FLAIR MR.
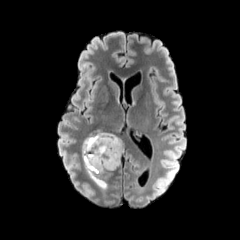
T1-weighted magnetic resonance.
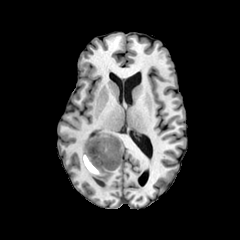
Post-contrast T1-weighted MR image.
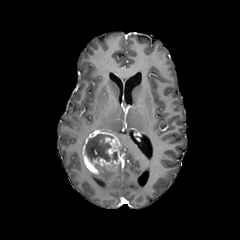
T2-weighted MRI.
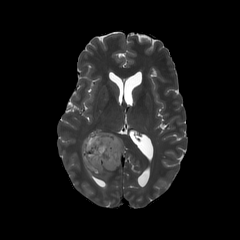
Axial view | Image size 240x240
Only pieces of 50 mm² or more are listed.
<segmentation>
  <necrotic_tumor_core>bbox=[85, 134, 112, 163]</necrotic_tumor_core>
  <enhancing_tumor>bbox=[82, 130, 121, 174]</enhancing_tumor>
  <peritumoral_edema>bbox=[85, 166, 113, 188]; bbox=[115, 134, 124, 154]</peritumoral_edema>
</segmentation>